Image covers 240 mm x 240 mm | Head | Slice 124 of 155 | Image size 240x240 | Axial plane
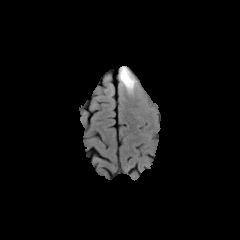
FLAIR MR image.
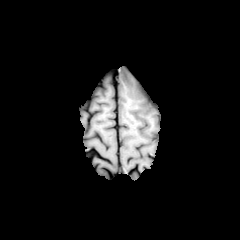
T1-weighted MR.
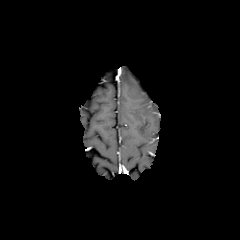
Same slice, post-contrast T1-weighted MRI.
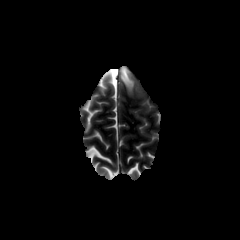
T2-weighted magnetic resonance.
peritumoral edema = x1=120, y1=66, x2=135, y2=93